FLAIR magnetic resonance.
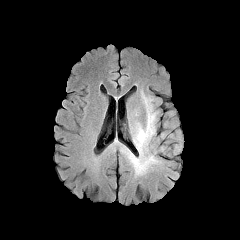
T1-weighted MR image.
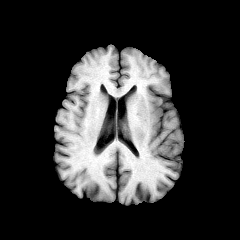
Post-contrast T1-weighted MR.
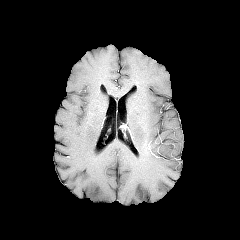
T2-weighted MR image.
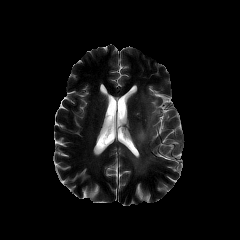
Image size 240x240
{"peritumoral_edema": ["129, 96, 158, 172"]}